FLAIR MR.
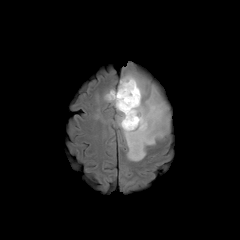
T1-weighted magnetic resonance.
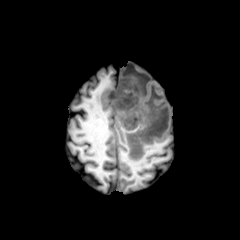
Post-contrast T1-weighted MR image.
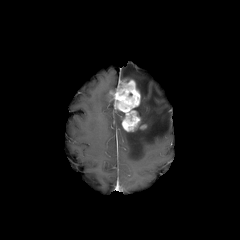
T2-weighted MR.
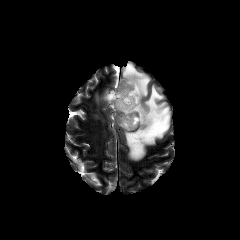
Head | 240x240
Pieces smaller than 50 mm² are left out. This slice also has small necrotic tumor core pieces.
{
  "enhancing_tumor": [
    {"x1": 108, "y1": 78, "x2": 140, "y2": 131}
  ],
  "peritumoral_edema": [
    {"x1": 116, "y1": 66, "x2": 169, "y2": 161},
    {"x1": 104, "y1": 90, "x2": 113, "y2": 106}
  ]
}